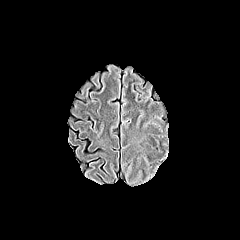
FLAIR MR image.
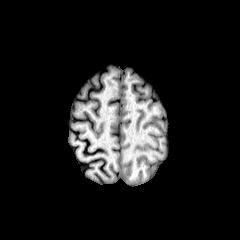
T1-weighted magnetic resonance.
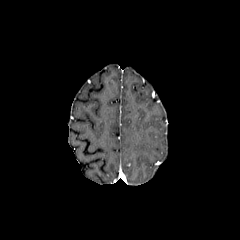
Post-contrast T1-weighted MRI.
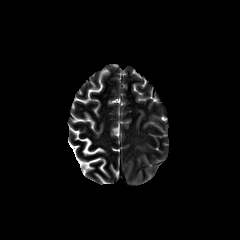
T2-weighted MRI.
Head.
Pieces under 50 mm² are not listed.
<segmentation>
  <peritumoral_edema>[136, 109, 144, 124]</peritumoral_edema>
</segmentation>